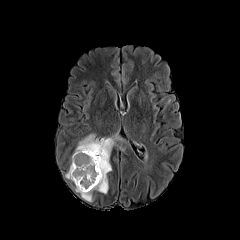
FLAIR magnetic resonance.
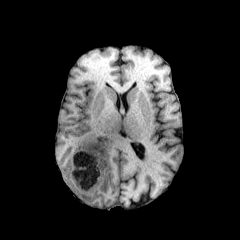
Same slice, T1-weighted magnetic resonance.
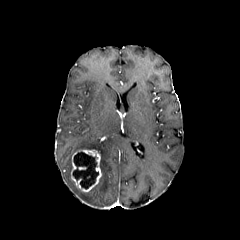
Same slice, post-contrast T1-weighted MRI.
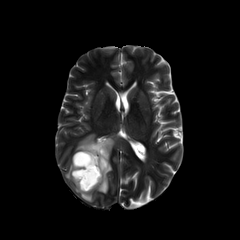
T2-weighted magnetic resonance.
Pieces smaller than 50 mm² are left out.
enhancing tumor: bounding box x1=71, y1=149, x2=101, y2=192
peritumoral edema: bounding box x1=65, y1=157, x2=74, y2=184; x1=74, y1=133, x2=125, y2=201
necrotic tumor core: bounding box x1=72, y1=152, x2=98, y2=189